FLAIR MR.
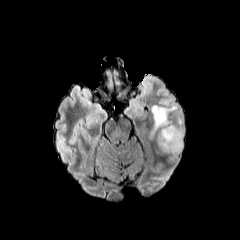
T1-weighted MR.
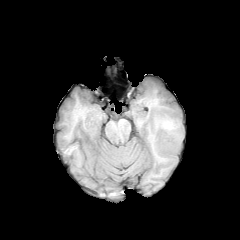
Post-contrast T1-weighted MRI.
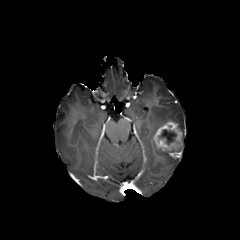
T2-weighted MR image.
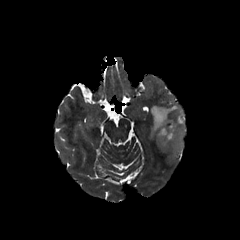
Axial plane, Head
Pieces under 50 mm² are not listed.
peritumoral edema — bbox(150, 105, 184, 137)
enhancing tumor — bbox(152, 121, 182, 157)
necrotic tumor core — bbox(159, 129, 176, 144)